Image width 240 mm, 1.00 mm slice spacing | Axial plane | Head
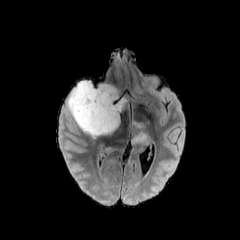
FLAIR MR.
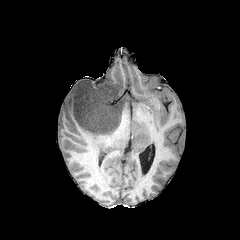
T1-weighted magnetic resonance of the same slice.
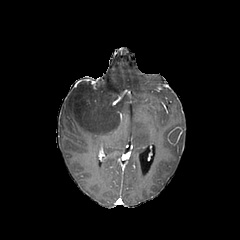
Post-contrast T1-weighted MRI.
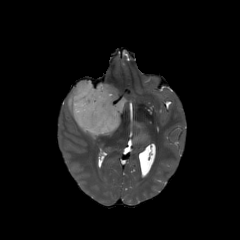
Same slice, T2-weighted magnetic resonance.
peritumoral edema — <box>125,114,150,148</box>, <box>67,81,125,139</box>